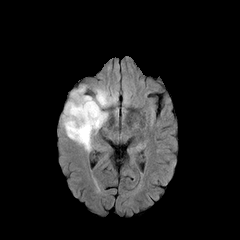
FLAIR MR.
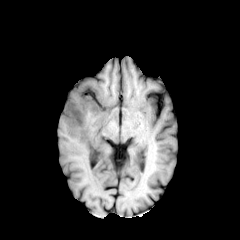
T1-weighted MR image of the same slice.
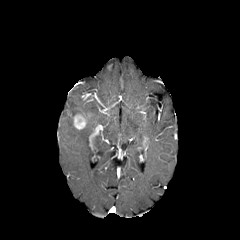
Post-contrast T1-weighted MR image.
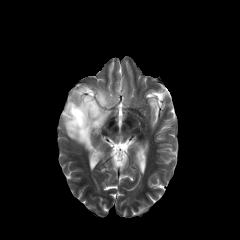
T2-weighted magnetic resonance.
240x240 px, Head, Axial slice
The enhancing tumor lies within bbox=[70, 110, 86, 129]. The peritumoral edema is bounded by bbox=[62, 85, 117, 151].